FLAIR MRI.
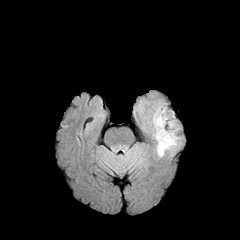
T1-weighted MR image.
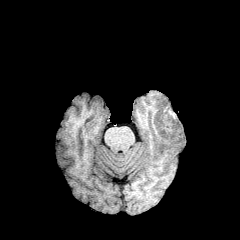
Post-contrast T1-weighted magnetic resonance.
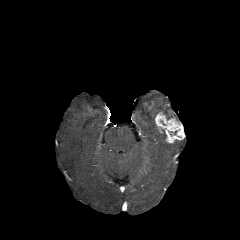
T2-weighted MR image.
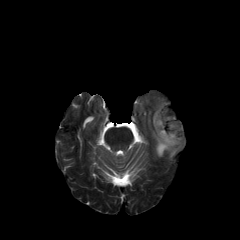
Image size 240x240
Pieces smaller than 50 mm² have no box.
The largest necrotic tumor core region is located at x1=163, y1=111, x2=171, y2=118. The peritumoral edema appears at x1=152, y1=103, x2=180, y2=156. The largest enhancing tumor region appears at x1=155, y1=110, x2=184, y2=143.